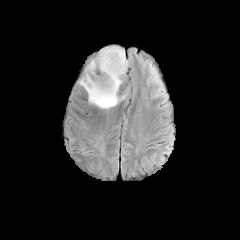
FLAIR MRI.
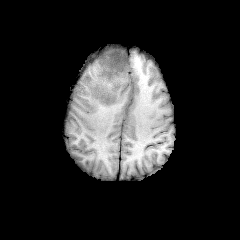
T1-weighted MR image.
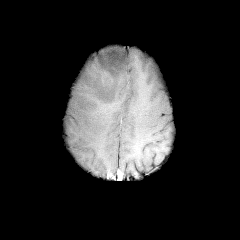
Same slice, post-contrast T1-weighted MR.
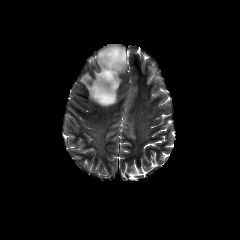
Same slice, T2-weighted MR.
Brain.
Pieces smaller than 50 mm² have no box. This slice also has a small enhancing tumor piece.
peritumoral edema = l=79, t=46, r=127, b=109